240x240.
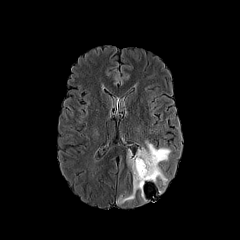
FLAIR MRI.
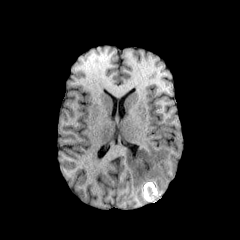
T1-weighted MRI.
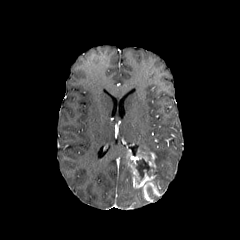
Post-contrast T1-weighted MR image.
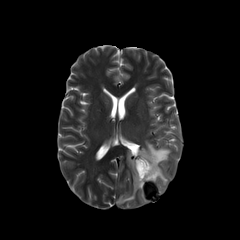
T2-weighted magnetic resonance of the same slice.
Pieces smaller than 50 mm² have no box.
enhancing tumor at 127,149,156,188
peritumoral edema at 141,141,171,186; 116,187,145,204
necrotic tumor core at 136,158,151,179